FLAIR MR.
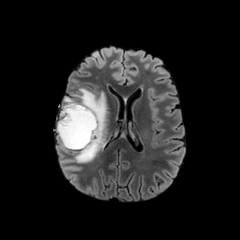
T1-weighted MR.
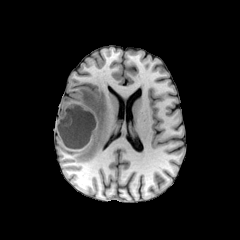
Post-contrast T1-weighted MRI.
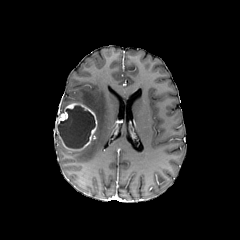
T2-weighted magnetic resonance.
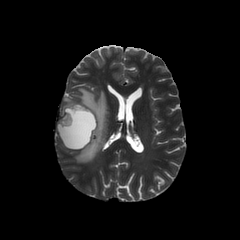
Axial slice, Head
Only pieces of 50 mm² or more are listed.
The necrotic tumor core is bounded by bbox(57, 105, 95, 148). The largest peritumoral edema region is at bbox(60, 88, 107, 162). The enhancing tumor lies within bbox(56, 103, 97, 150).